FLAIR MR.
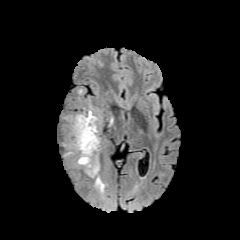
T1-weighted MRI.
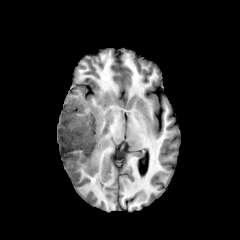
Post-contrast T1-weighted MR.
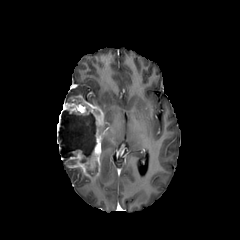
T2-weighted MR image.
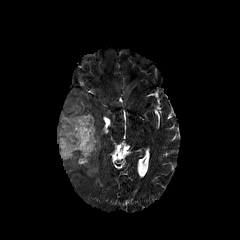
Axial view | Brain
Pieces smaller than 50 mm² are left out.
* peritumoral edema: l=94, t=177, r=104, b=190
* necrotic tumor core: l=87, t=163, r=97, b=174; l=58, t=110, r=96, b=162
* enhancing tumor: l=57, t=94, r=106, b=178